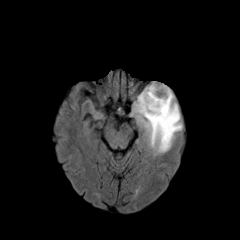
FLAIR MRI.
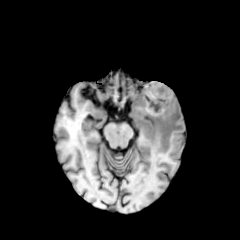
T1-weighted MR.
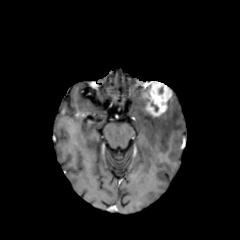
Post-contrast T1-weighted MRI of the same slice.
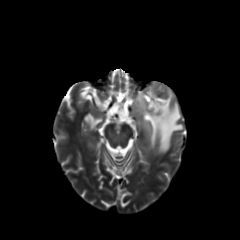
T2-weighted MRI.
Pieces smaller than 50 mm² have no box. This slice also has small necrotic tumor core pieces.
Annotated regions:
* peritumoral edema: x1=133 y1=83 x2=180 y2=157
* enhancing tumor: x1=144 y1=81 x2=172 y2=116